Image width 240 mm. Slice 86/155. Image size 240x240. Axial plane.
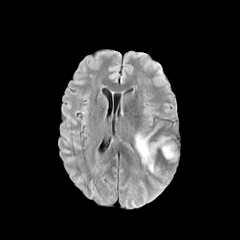
FLAIR MR image.
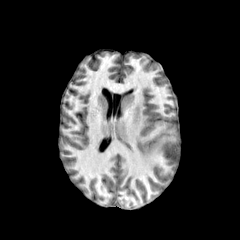
T1-weighted MR image.
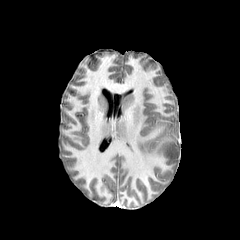
Same slice, post-contrast T1-weighted MRI.
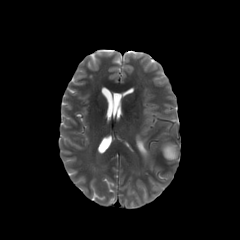
T2-weighted magnetic resonance of the same slice.
peritumoral edema at 134:125:176:172